Head. Slice 59/155. Image width 240 mm.
FLAIR magnetic resonance.
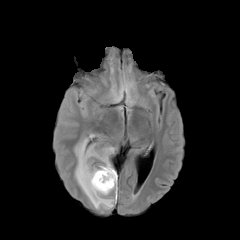
T1-weighted MR image.
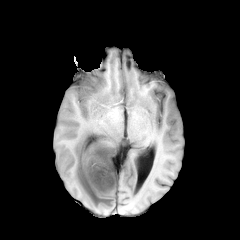
Post-contrast T1-weighted MR image.
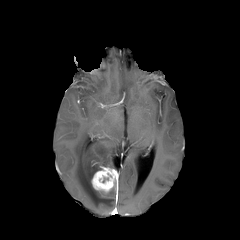
T2-weighted MR.
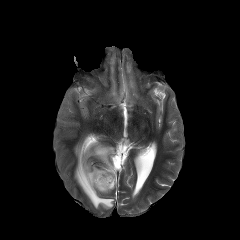
enhancing_tumor:
  - {"x1": 91, "y1": 165, "x2": 117, "y2": 192}
peritumoral_edema:
  - {"x1": 74, "y1": 134, "x2": 117, "y2": 209}